240x240 px, Axial view
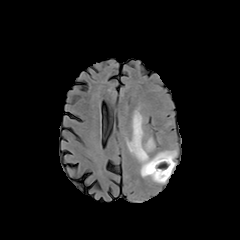
FLAIR MR.
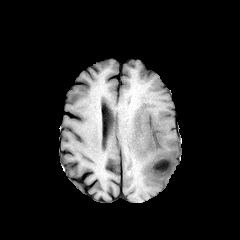
Same slice, T1-weighted magnetic resonance.
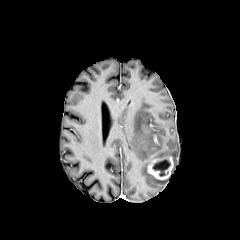
Post-contrast T1-weighted MRI of the same slice.
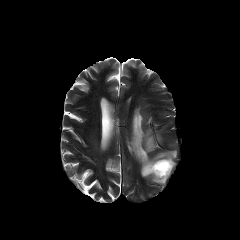
Same slice, T2-weighted MRI.
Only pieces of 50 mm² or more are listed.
necrotic tumor core: bounding box [153, 159, 170, 176]
peritumoral edema: bounding box [127, 109, 176, 183]
enhancing tumor: bounding box [147, 156, 173, 179]